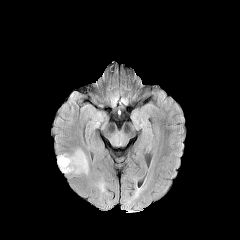
FLAIR MR image.
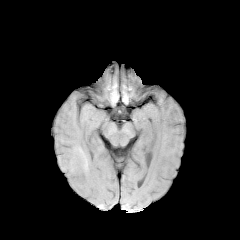
T1-weighted MRI of the same slice.
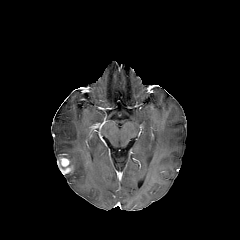
Post-contrast T1-weighted MR.
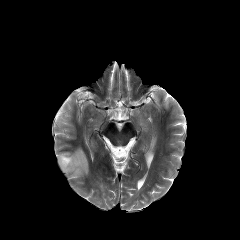
Same slice, T2-weighted MR.
Axial slice
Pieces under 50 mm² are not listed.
• peritumoral edema: box=[57, 149, 88, 175]
• enhancing tumor: box=[57, 157, 73, 173]